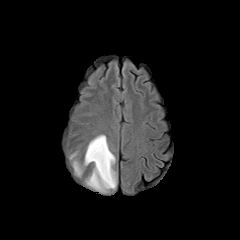
FLAIR magnetic resonance.
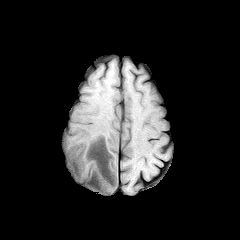
T1-weighted MR image of the same slice.
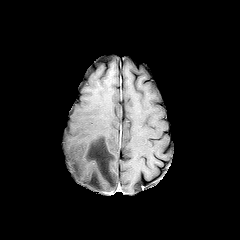
Post-contrast T1-weighted magnetic resonance.
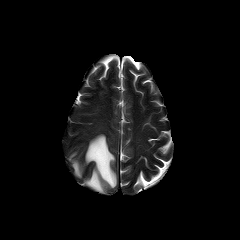
T2-weighted MRI.
Head, Image size 240x240
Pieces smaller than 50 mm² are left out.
Segmented structures:
* peritumoral edema: bbox(73, 161, 81, 176); bbox(84, 134, 116, 191)